Image width 240 mm; Image size 240x240
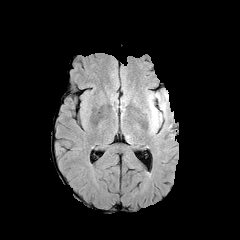
FLAIR MRI.
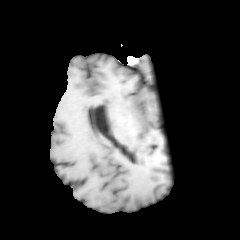
Same slice, T1-weighted MRI.
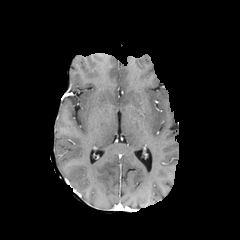
Same slice, post-contrast T1-weighted MR.
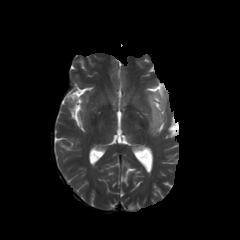
T2-weighted MR.
peritumoral edema — [144, 92, 163, 134]